Image covers 240 mm x 240 mm, Brain
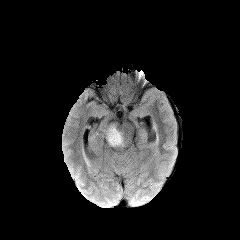
FLAIR MRI.
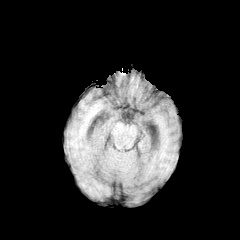
T1-weighted magnetic resonance.
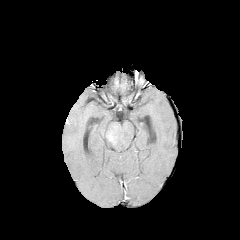
Post-contrast T1-weighted MR.
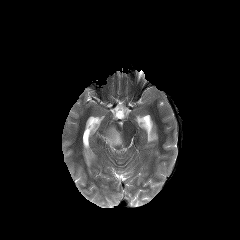
T2-weighted magnetic resonance.
enhancing tumor = (left=107, top=133, right=114, bottom=142)
peritumoral edema = (left=106, top=125, right=123, bottom=146)